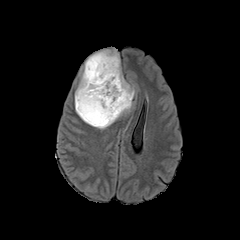
FLAIR MR image.
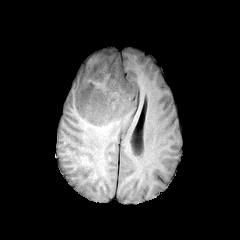
T1-weighted MRI of the same slice.
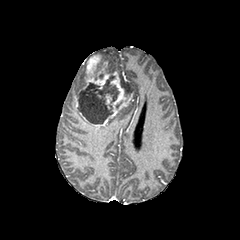
Post-contrast T1-weighted magnetic resonance.
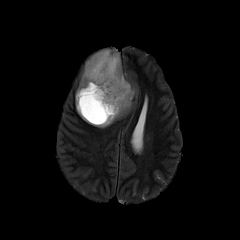
Same slice, T2-weighted magnetic resonance.
Head. Axial plane.
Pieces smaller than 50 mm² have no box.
The largest necrotic tumor core region is at left=78, top=75, right=119, bottom=124. The largest enhancing tumor region appears at left=75, top=55, right=132, bottom=126. The 2 largest peritumoral edema regions are bounded by left=74, top=60, right=87, bottom=97; left=75, top=48, right=134, bottom=129.